Slice index 99
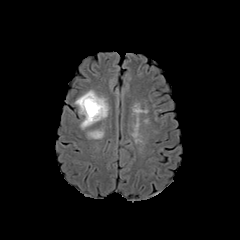
FLAIR MR.
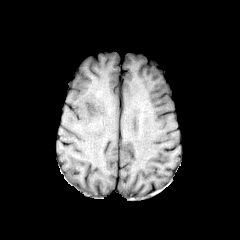
Same slice, T1-weighted magnetic resonance.
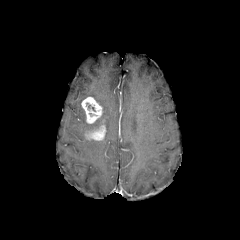
Same slice, post-contrast T1-weighted MR image.
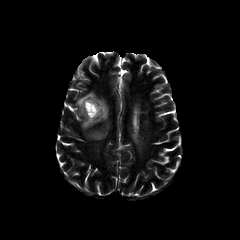
Same slice, T2-weighted MRI.
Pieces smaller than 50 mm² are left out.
2 enhancing tumor regions appear at [x1=81, y1=97, x2=102, y2=123], [x1=86, y1=125, x2=105, y2=140]. The largest necrotic tumor core region is at [x1=86, y1=102, x2=96, y2=111]. The largest peritumoral edema region lies within [x1=75, y1=90, x2=108, y2=129].